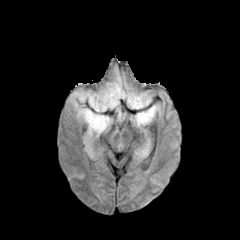
FLAIR magnetic resonance.
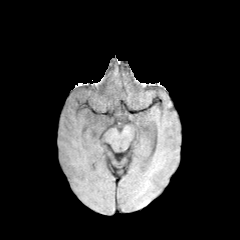
Same slice, T1-weighted MR.
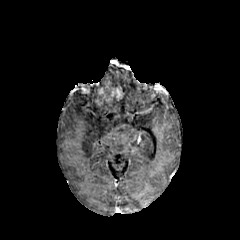
Post-contrast T1-weighted MR.
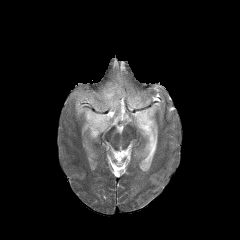
T2-weighted MR of the same slice.
Brain, Axial view
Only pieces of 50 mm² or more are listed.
Segmented structures:
* peritumoral edema: (140, 141, 149, 156), (70, 89, 124, 156), (130, 105, 159, 127), (101, 73, 151, 109)
* enhancing tumor: (96, 87, 122, 105)